Axial plane; Head; Slice 122 of 155
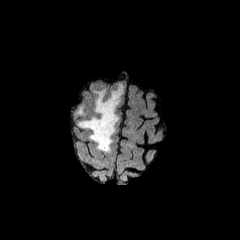
FLAIR MR.
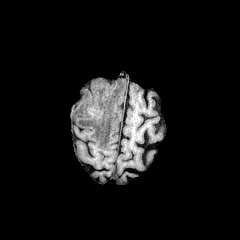
T1-weighted MR.
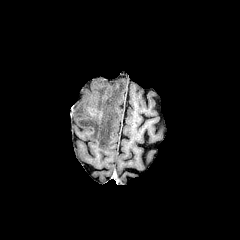
Post-contrast T1-weighted magnetic resonance of the same slice.
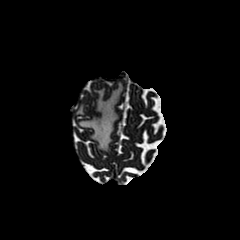
T2-weighted MRI.
peritumoral edema = 76 105 83 115, 77 84 123 152